240x240. Slice 101/155.
FLAIR MR.
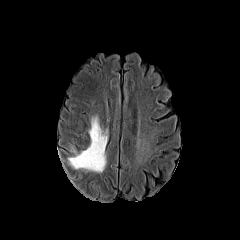
T1-weighted MR image.
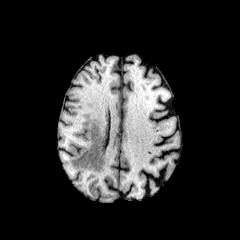
Post-contrast T1-weighted MR.
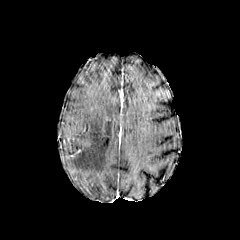
T2-weighted MRI.
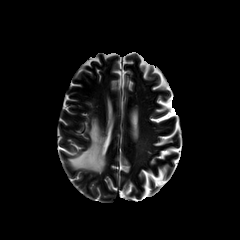
The peritumoral edema lies within {"x1": 68, "y1": 117, "x2": 107, "y2": 172}.